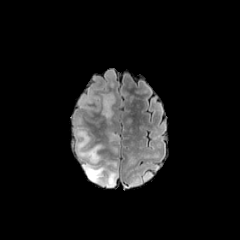
FLAIR MR.
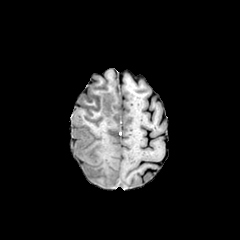
Same slice, T1-weighted magnetic resonance.
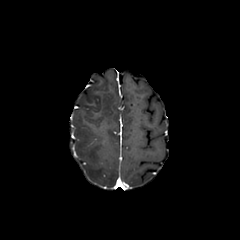
Post-contrast T1-weighted MR of the same slice.
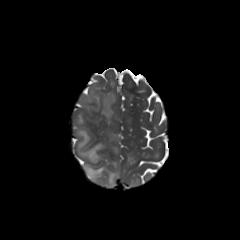
T2-weighted MR.
Axial plane
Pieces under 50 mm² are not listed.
<segmentation>
  <peritumoral_edema>75,127,118,187; 102,93,114,119</peritumoral_edema>
</segmentation>